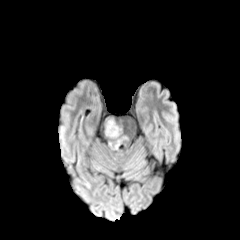
FLAIR MR.
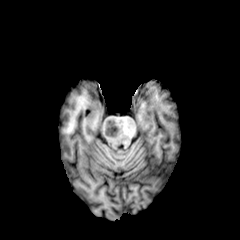
T1-weighted MR image.
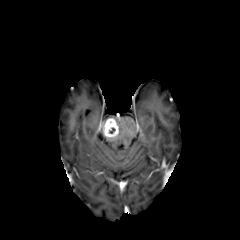
Same slice, post-contrast T1-weighted MR.
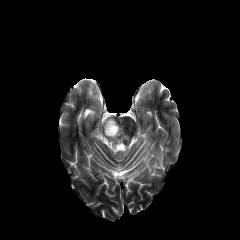
Same slice, T2-weighted MR image.
Axial view. Head.
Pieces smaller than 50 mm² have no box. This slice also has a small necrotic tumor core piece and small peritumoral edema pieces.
enhancing tumor = region(103, 118, 118, 137)